FLAIR MRI.
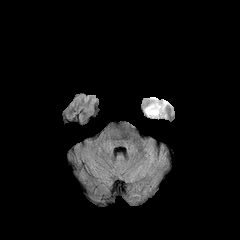
T1-weighted MRI.
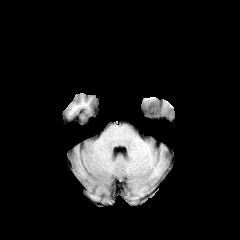
Post-contrast T1-weighted MR.
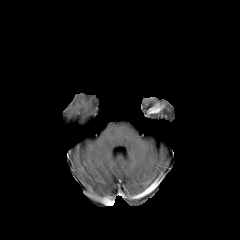
T2-weighted MR image.
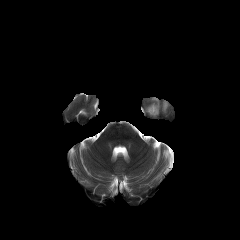
Axial plane
enhancing tumor = [147,102,164,115]
peritumoral edema = [145,97,159,114], [148,100,170,117]